FLAIR MRI.
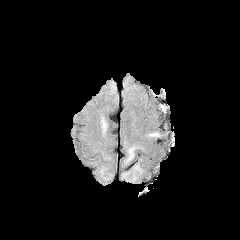
T1-weighted MR.
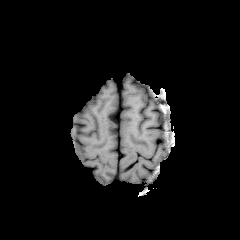
Post-contrast T1-weighted MR image.
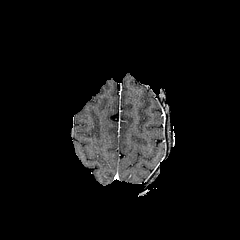
T2-weighted MR.
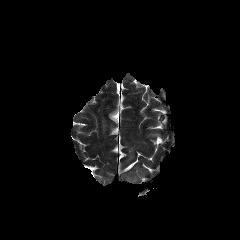
Brain
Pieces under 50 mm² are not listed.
{"peritumoral_edema": ["region(102, 118, 106, 133)", "region(127, 146, 135, 161)"]}